FLAIR MRI.
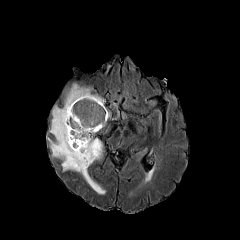
T1-weighted magnetic resonance.
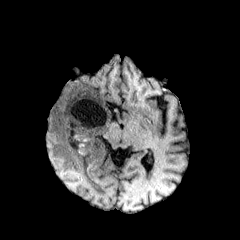
Post-contrast T1-weighted MR.
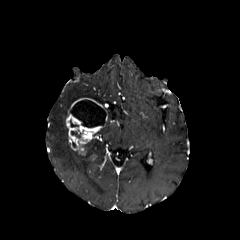
T2-weighted magnetic resonance.
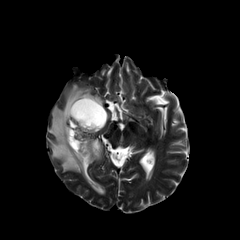
Head. Axial view.
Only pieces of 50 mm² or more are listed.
enhancing_tumor:
  - 65:97:107:155
necrotic_tumor_core:
  - 70:100:106:127
peritumoral_edema:
  - 47:83:105:194